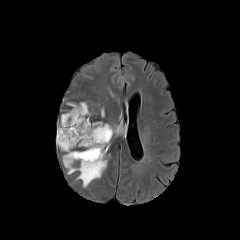
FLAIR MR image.
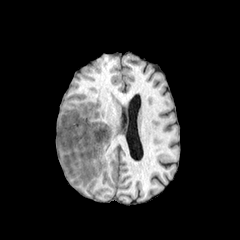
T1-weighted magnetic resonance.
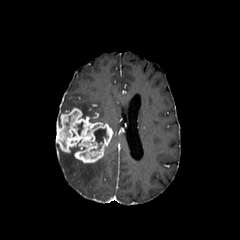
Same slice, post-contrast T1-weighted MR.
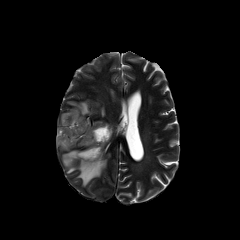
T2-weighted MR image of the same slice.
Head
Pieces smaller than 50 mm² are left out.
peritumoral edema: x1=109, y1=125, x2=119, y2=133; x1=62, y1=148, x2=107, y2=187; x1=67, y1=102, x2=90, y2=118 | enhancing tumor: x1=56, y1=108, x2=113, y2=163 | necrotic tumor core: x1=94, y1=129, x2=107, y2=143